FLAIR MRI.
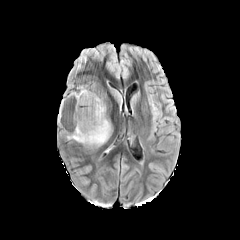
T1-weighted magnetic resonance.
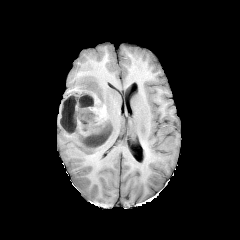
Post-contrast T1-weighted MR image.
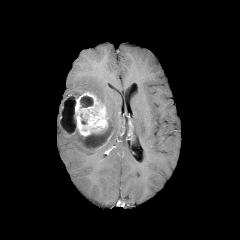
T2-weighted magnetic resonance.
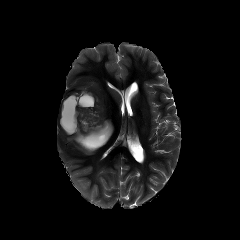
240x240 px, Head
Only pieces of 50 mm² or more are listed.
The 2 largest peritumoral edema regions appear at (92,83,112,138), (67,133,107,150). The enhancing tumor lies within (60,92,108,136). The 3 largest necrotic tumor core regions are bounded by (82,127,108,148), (62,96,76,132), (80,96,93,107).